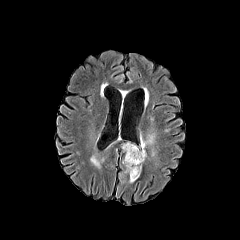
FLAIR MR image.
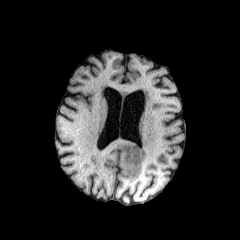
T1-weighted magnetic resonance.
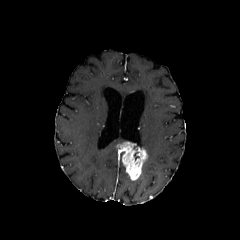
Post-contrast T1-weighted MR.
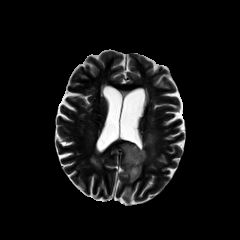
Same slice, T2-weighted MR image.
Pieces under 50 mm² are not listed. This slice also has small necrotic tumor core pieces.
Findings:
• peritumoral edema: bbox(140, 133, 154, 148)
• enhancing tumor: bbox(119, 142, 147, 180)